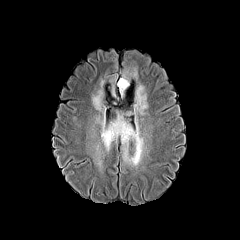
FLAIR MR.
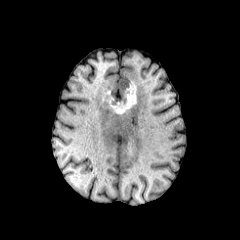
T1-weighted MR image.
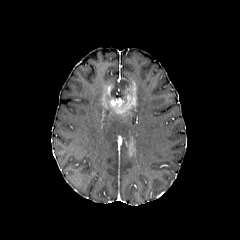
Post-contrast T1-weighted MRI.
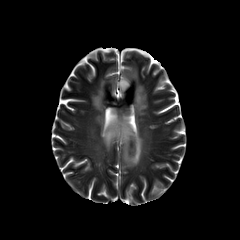
T2-weighted MR image of the same slice.
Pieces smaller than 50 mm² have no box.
The 4 largest peritumoral edema regions appear at (x1=92, y1=79, x2=105, y2=112), (x1=117, y1=68, x2=137, y2=95), (x1=132, y1=84, x2=147, y2=116), (x1=95, y1=112, x2=145, y2=165).